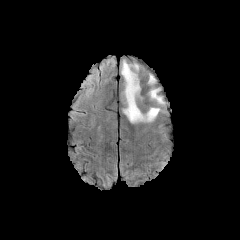
FLAIR MRI.
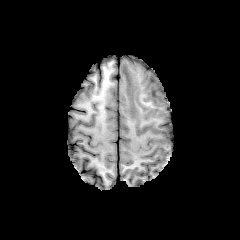
T1-weighted MR image of the same slice.
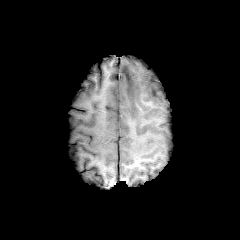
Post-contrast T1-weighted MR image of the same slice.
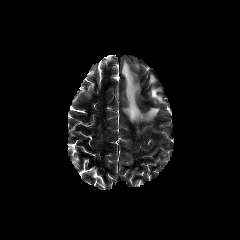
T2-weighted MR.
Axial slice, Head
2 peritumoral edema regions appear at (148,74,155,83), (121,60,164,122).